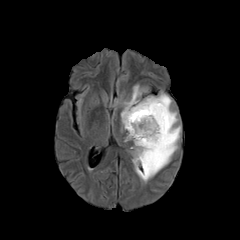
FLAIR MRI.
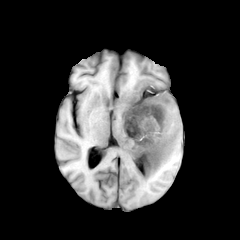
T1-weighted MRI.
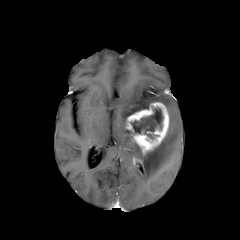
Post-contrast T1-weighted MR.
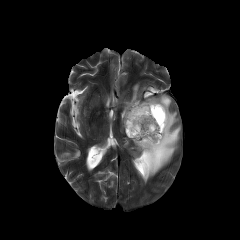
T2-weighted MRI.
Head | 240x240 px
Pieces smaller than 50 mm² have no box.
The largest peritumoral edema region lies within bbox(121, 85, 180, 182). The largest necrotic tumor core region appears at bbox(131, 108, 162, 133). 2 enhancing tumor regions appear at bbox(125, 102, 169, 156); bbox(133, 157, 142, 164).